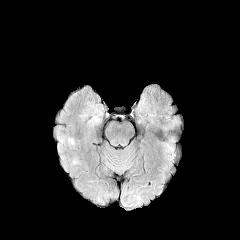
FLAIR MR.
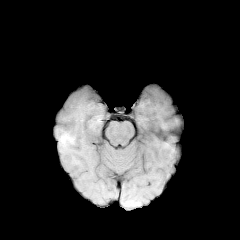
T1-weighted MR image of the same slice.
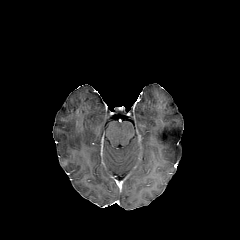
Same slice, post-contrast T1-weighted magnetic resonance.
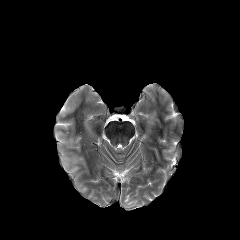
T2-weighted MR image.
240x240, Axial slice, Head
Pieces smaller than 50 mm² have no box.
The 2 largest peritumoral edema regions are bounded by left=61, top=156, right=70, bottom=169; left=71, top=157, right=79, bottom=164.